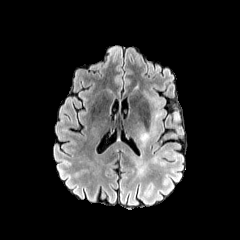
FLAIR MRI.
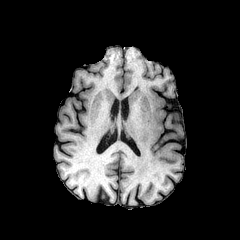
T1-weighted MRI.
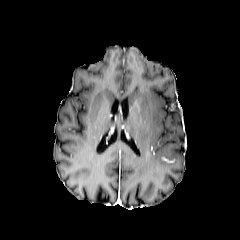
Post-contrast T1-weighted MR of the same slice.
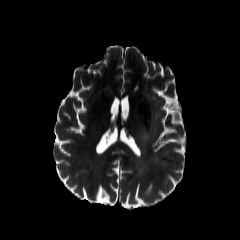
T2-weighted magnetic resonance.
Axial plane
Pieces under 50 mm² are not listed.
peritumoral edema: bounding box <box>169,102,181,123</box>, <box>139,92,167,145</box>